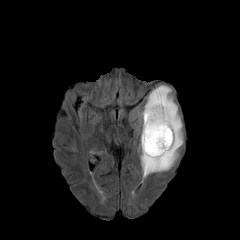
FLAIR magnetic resonance.
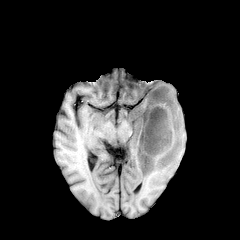
T1-weighted magnetic resonance.
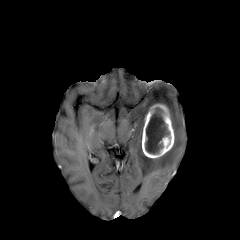
Post-contrast T1-weighted magnetic resonance of the same slice.
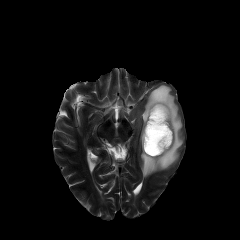
T2-weighted magnetic resonance of the same slice.
Head. 240x240. Axial view.
necrotic tumor core — box=[145, 108, 169, 154]
enhancing tumor — box=[142, 104, 174, 158]
peritumoral edema — box=[137, 84, 183, 177]